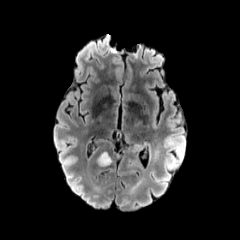
FLAIR MR.
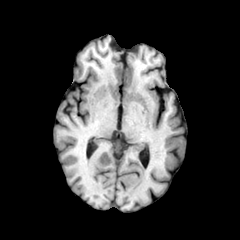
T1-weighted magnetic resonance.
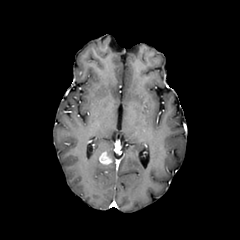
Same slice, post-contrast T1-weighted MRI.
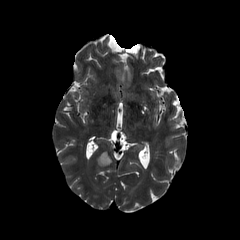
T2-weighted magnetic resonance.
240x240 px. Axial slice.
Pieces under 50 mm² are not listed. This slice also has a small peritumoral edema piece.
The enhancing tumor appears at {"x1": 99, "y1": 152, "x2": 111, "y2": 164}.